Axial slice. Head.
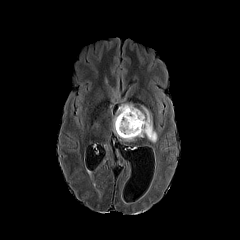
FLAIR MR image.
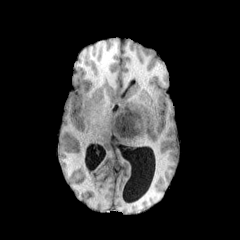
T1-weighted MR of the same slice.
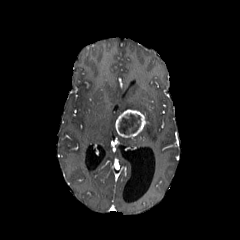
Post-contrast T1-weighted MR image.
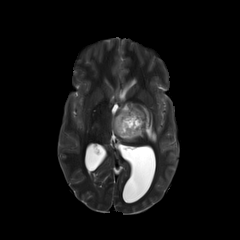
T2-weighted MRI of the same slice.
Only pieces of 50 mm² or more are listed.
The enhancing tumor lies within left=115, top=109, right=147, bottom=138. The necrotic tumor core lies within left=119, top=113, right=140, bottom=134. The largest peritumoral edema region appears at left=113, top=103, right=157, bottom=142.